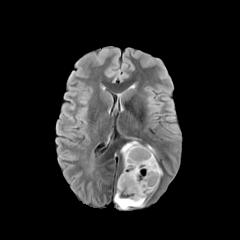
FLAIR magnetic resonance.
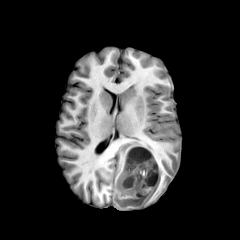
Same slice, T1-weighted MRI.
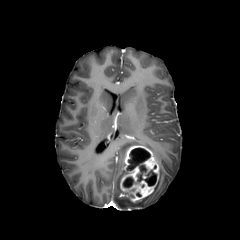
Same slice, post-contrast T1-weighted MR.
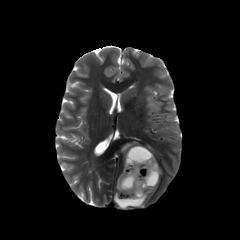
T2-weighted MRI.
Axial slice | Image size 240x240 | Head
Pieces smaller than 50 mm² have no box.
{
  "enhancing_tumor": [
    "120:145:159:202"
  ],
  "peritumoral_edema": [
    "121:141:139:159",
    "114:170:146:209"
  ],
  "necrotic_tumor_core": [
    "145:170:156:185",
    "123:177:133:187",
    "137:165:146:181",
    "127:148:150:170"
  ]
}